Slice 56 of 155. Image width 240 mm, 1.00 mm slice spacing. Axial view.
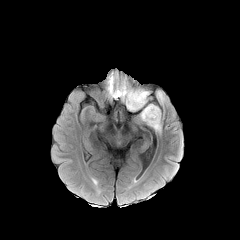
FLAIR magnetic resonance.
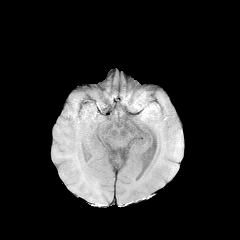
T1-weighted magnetic resonance of the same slice.
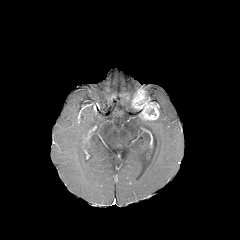
Post-contrast T1-weighted MR image of the same slice.
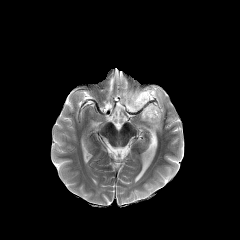
T2-weighted magnetic resonance of the same slice.
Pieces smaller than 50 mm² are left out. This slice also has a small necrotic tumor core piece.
peritumoral edema: [141, 108, 161, 130], [117, 86, 138, 111], [156, 91, 164, 104] | enhancing tumor: [131, 89, 159, 120]